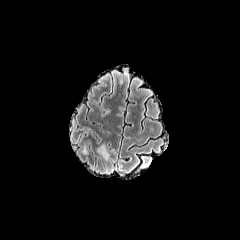
FLAIR MR image.
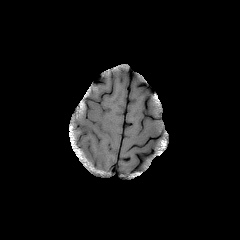
T1-weighted magnetic resonance of the same slice.
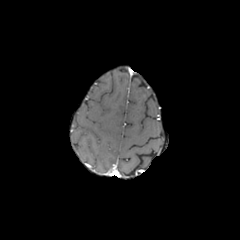
Post-contrast T1-weighted magnetic resonance.
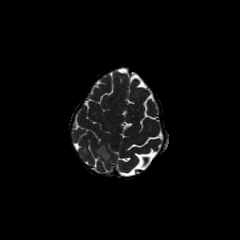
Same slice, T2-weighted MR.
The peritumoral edema is at (left=97, top=143, right=109, bottom=159).